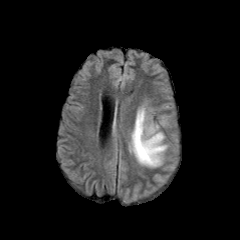
FLAIR magnetic resonance.
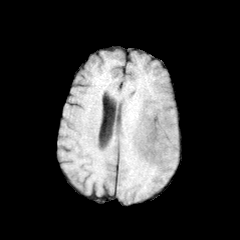
T1-weighted MR image of the same slice.
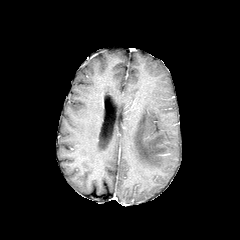
Post-contrast T1-weighted MRI of the same slice.
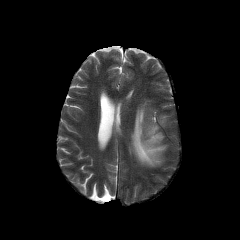
T2-weighted MR of the same slice.
Head, Axial slice
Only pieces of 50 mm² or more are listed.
peritumoral edema — l=130, t=107, r=167, b=166